FLAIR MR image.
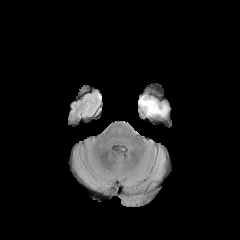
T1-weighted magnetic resonance.
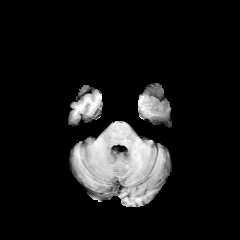
Post-contrast T1-weighted magnetic resonance.
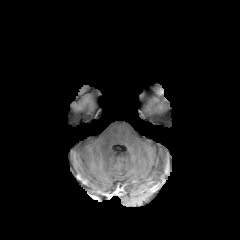
T2-weighted MR.
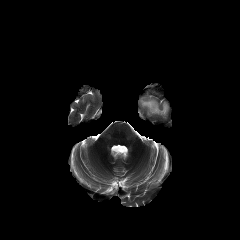
Brain
- peritumoral edema: (x1=139, y1=95, x2=168, y2=116)